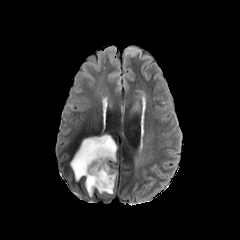
FLAIR MR image.
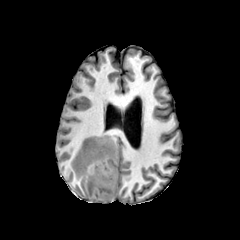
T1-weighted magnetic resonance.
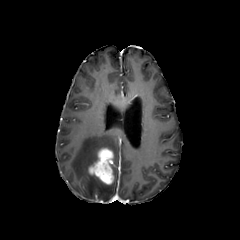
Post-contrast T1-weighted MR image of the same slice.
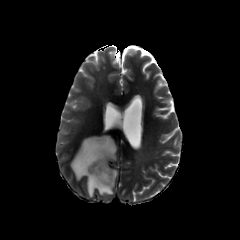
T2-weighted MR image.
Head. Axial slice. Image size 240x240.
enhancing_tumor:
  - [89, 148, 113, 184]
peritumoral_edema:
  - [70, 135, 117, 196]